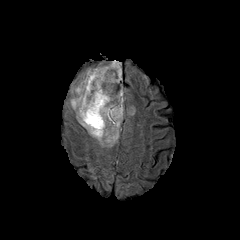
FLAIR MRI.
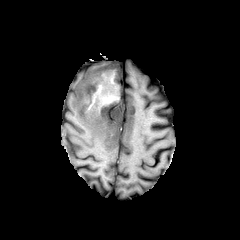
T1-weighted MR of the same slice.
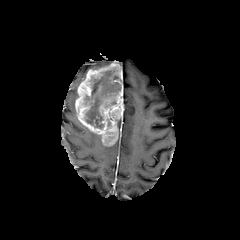
Post-contrast T1-weighted MRI.
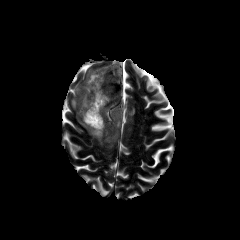
T2-weighted MR image.
Axial slice. Head.
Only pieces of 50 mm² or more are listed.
Annotated regions:
- necrotic tumor core: <bbox>85, 70, 120, 128</bbox>
- enhancing tumor: <bbox>75, 60, 124, 145</bbox>
- peritumoral edema: <bbox>70, 80, 82, 111</bbox>, <bbox>78, 120, 104, 146</bbox>